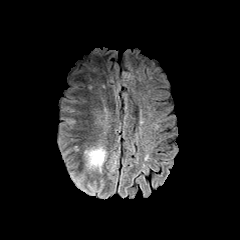
FLAIR MR.
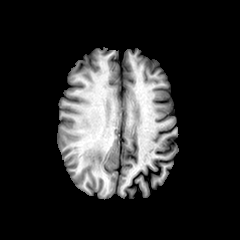
Same slice, T1-weighted MRI.
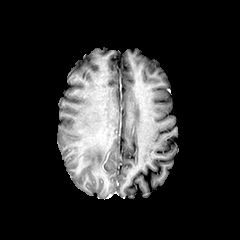
Post-contrast T1-weighted MRI.
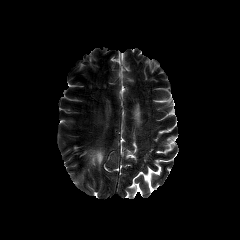
Same slice, T2-weighted MRI.
The peritumoral edema lies within bbox(85, 147, 105, 171).